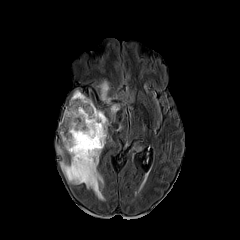
FLAIR MR.
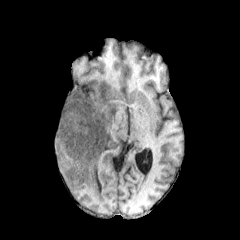
Same slice, T1-weighted MR.
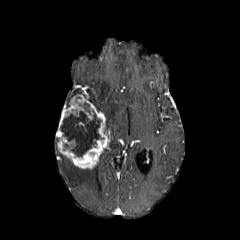
Post-contrast T1-weighted MRI.
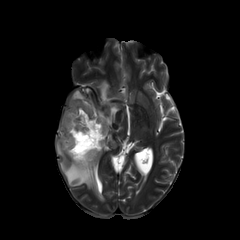
T2-weighted MR.
Brain.
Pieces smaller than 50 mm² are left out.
peritumoral edema: {"x1": 98, "y1": 80, "x2": 119, "y2": 118}, {"x1": 60, "y1": 160, "x2": 104, "y2": 199} | enhancing tumor: {"x1": 56, "y1": 94, "x2": 109, "y2": 168} | necrotic tumor core: {"x1": 83, "y1": 103, "x2": 90, "y2": 113}, {"x1": 60, "y1": 110, "x2": 103, "y2": 156}